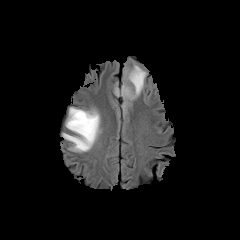
FLAIR MR.
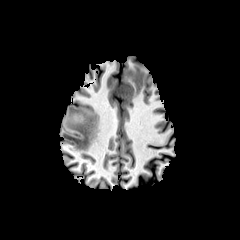
Same slice, T1-weighted magnetic resonance.
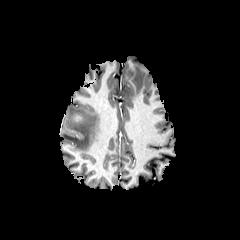
Post-contrast T1-weighted MR of the same slice.
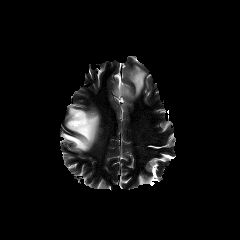
Same slice, T2-weighted MRI.
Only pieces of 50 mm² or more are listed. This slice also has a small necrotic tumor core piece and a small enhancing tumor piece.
Findings:
* peritumoral edema: rect(114, 62, 146, 107); rect(62, 107, 101, 152)